FLAIR magnetic resonance.
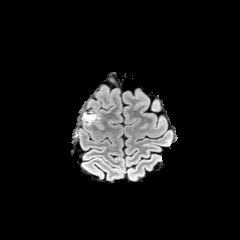
T1-weighted MR.
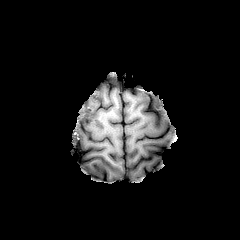
Post-contrast T1-weighted magnetic resonance.
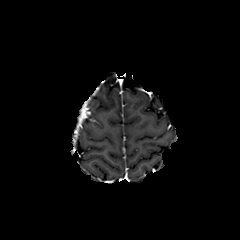
T2-weighted MR.
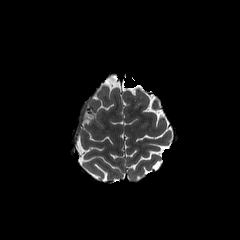
240x240 px.
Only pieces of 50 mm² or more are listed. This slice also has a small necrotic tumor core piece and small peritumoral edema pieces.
The enhancing tumor is at x1=84, y1=111, x2=95, y2=121.